240x240 px
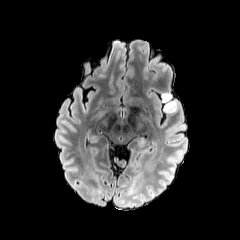
FLAIR MR.
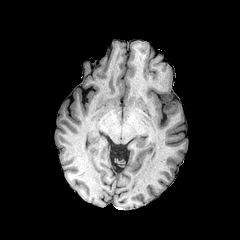
T1-weighted MR.
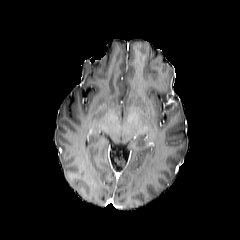
Post-contrast T1-weighted MR.
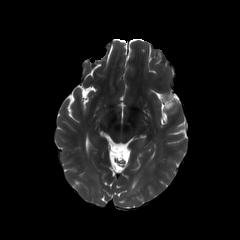
T2-weighted MR.
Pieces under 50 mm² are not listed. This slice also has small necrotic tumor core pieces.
enhancing tumor: l=165, t=93, r=176, b=108
peritumoral edema: l=164, t=105, r=177, b=113; l=161, t=93, r=166, b=103